FLAIR MR.
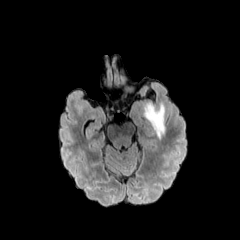
T1-weighted MR.
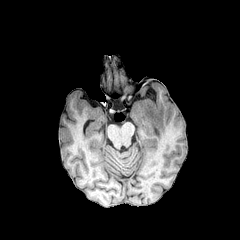
Post-contrast T1-weighted MRI.
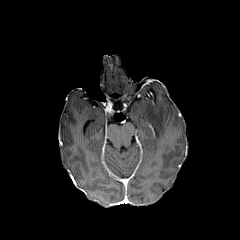
T2-weighted MRI.
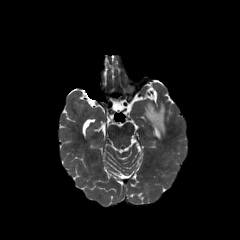
Axial plane.
<segmentation>
  <peritumoral_edema>bbox(144, 102, 165, 138)</peritumoral_edema>
</segmentation>